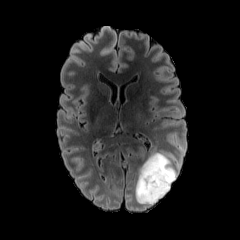
FLAIR MR image.
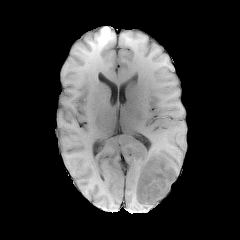
T1-weighted MR image.
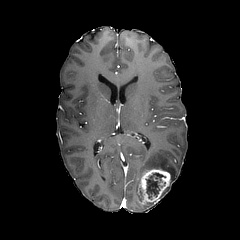
Post-contrast T1-weighted MR image.
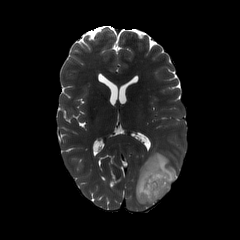
T2-weighted MRI of the same slice.
Image size 240x240. Axial slice.
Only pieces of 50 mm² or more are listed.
* enhancing tumor: box=[139, 169, 170, 203]
* necrotic tumor core: box=[146, 173, 165, 198]
* peritumoral edema: box=[135, 152, 178, 206]